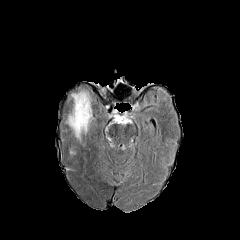
FLAIR magnetic resonance.
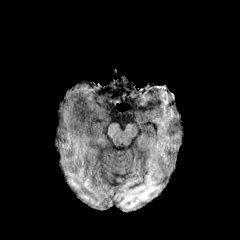
T1-weighted MR image of the same slice.
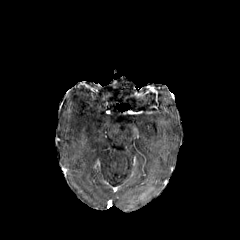
Same slice, post-contrast T1-weighted MR.
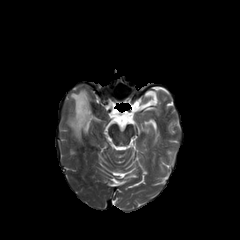
T2-weighted magnetic resonance.
Brain; Axial view
Findings:
• peritumoral edema: 69, 91, 92, 137